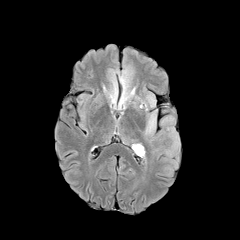
FLAIR MR.
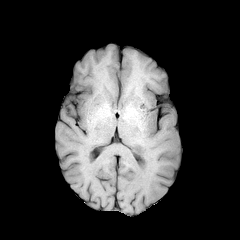
T1-weighted MRI of the same slice.
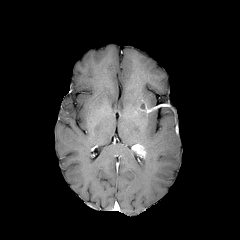
Post-contrast T1-weighted MRI.
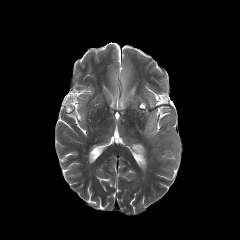
T2-weighted MR.
Brain | Axial view
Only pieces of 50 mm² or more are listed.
The enhancing tumor lies within (132,144,145,156). The 3 largest peritumoral edema regions are bounded by (119,88,134,104), (145,112,155,135), (146,94,155,107).